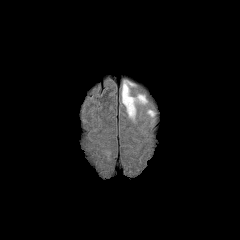
FLAIR MR.
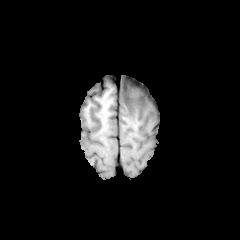
T1-weighted MR.
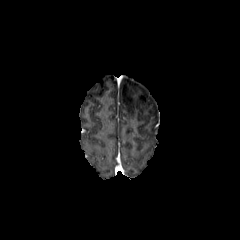
Post-contrast T1-weighted MRI of the same slice.
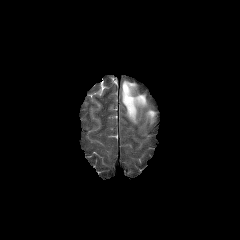
T2-weighted MR image.
Axial view, Brain, 240x240
Findings:
- peritumoral edema: (x1=121, y1=81, x2=147, y2=121), (x1=147, y1=110, x2=155, y2=117)